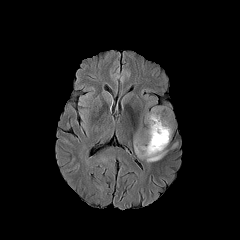
FLAIR MR image.
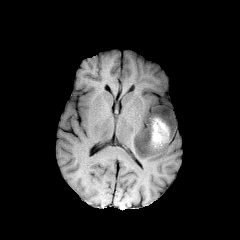
T1-weighted MRI of the same slice.
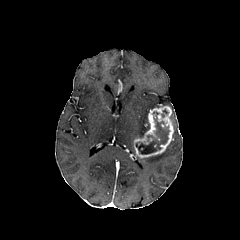
Post-contrast T1-weighted MR image.
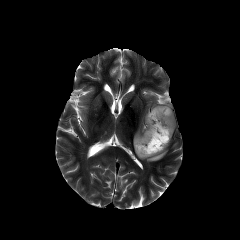
T2-weighted MR image of the same slice.
Axial slice. Head.
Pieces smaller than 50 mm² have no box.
{
  "peritumoral_edema": [
    "left=143, top=149, right=166, bottom=161"
  ],
  "necrotic_tumor_core": [
    "left=136, top=118, right=168, bottom=154"
  ],
  "enhancing_tumor": [
    "left=134, top=105, right=174, bottom=158"
  ]
}